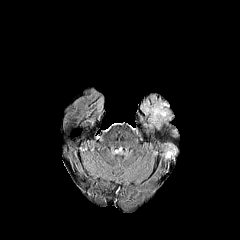
FLAIR magnetic resonance.
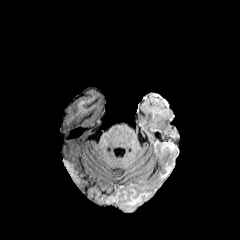
T1-weighted MRI.
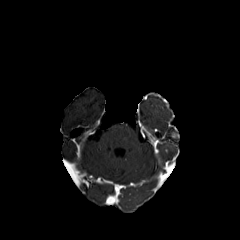
Post-contrast T1-weighted magnetic resonance.
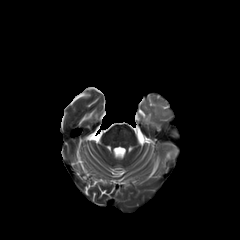
Same slice, T2-weighted magnetic resonance.
Axial plane
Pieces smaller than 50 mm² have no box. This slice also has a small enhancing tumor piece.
The 2 largest peritumoral edema regions are bounded by 152,107,168,117; 166,148,175,157.